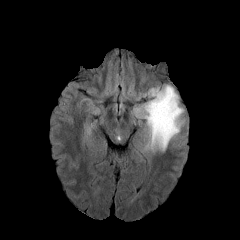
FLAIR MR.
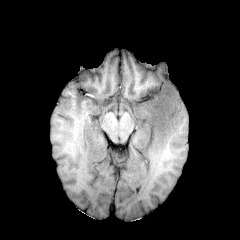
T1-weighted MR.
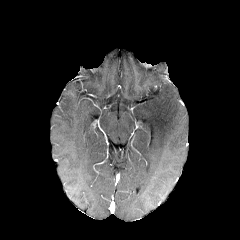
Post-contrast T1-weighted magnetic resonance of the same slice.
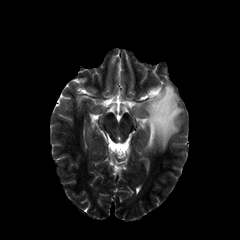
T2-weighted MR of the same slice.
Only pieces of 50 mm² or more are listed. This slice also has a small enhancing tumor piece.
Findings:
* peritumoral edema: [x1=134, y1=84, x2=184, y2=151]